FLAIR MR image.
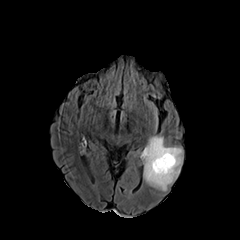
T1-weighted magnetic resonance.
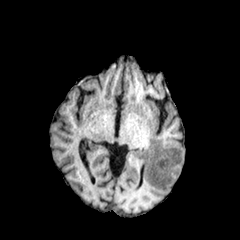
Post-contrast T1-weighted MRI.
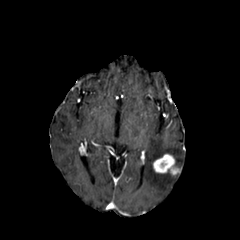
T2-weighted MRI.
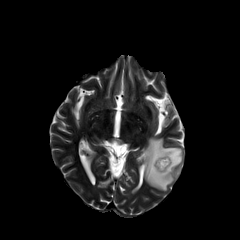
Brain
The peritumoral edema lies within box(144, 136, 183, 191). The enhancing tumor appears at box(152, 154, 180, 175).